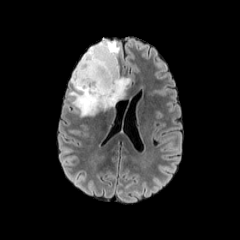
FLAIR MR image.
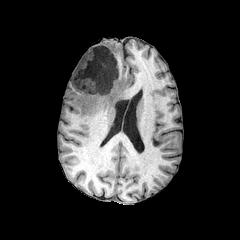
T1-weighted MR of the same slice.
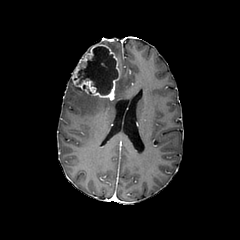
Same slice, post-contrast T1-weighted MR image.
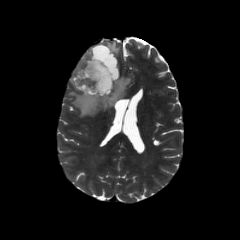
T2-weighted MR image of the same slice.
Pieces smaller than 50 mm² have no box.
<segmentation>
  <necrotic_tumor_core>76, 46, 118, 94</necrotic_tumor_core>
  <enhancing_tumor>71, 43, 119, 100</enhancing_tumor>
  <peritumoral_edema>69, 77, 130, 116; 100, 41, 120, 58</peritumoral_edema>
</segmentation>